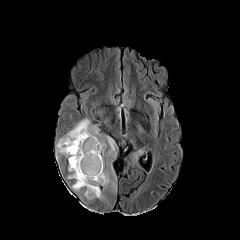
FLAIR MRI.
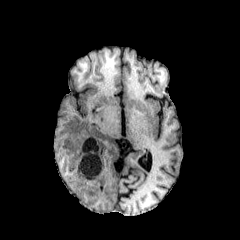
T1-weighted MRI of the same slice.
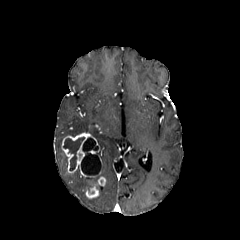
Post-contrast T1-weighted MR.
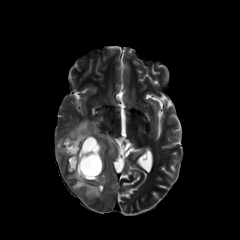
Same slice, T2-weighted MR.
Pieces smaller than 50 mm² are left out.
enhancing tumor = [85, 176, 105, 198], [62, 132, 101, 178]
peritumoral edema = [56, 118, 116, 190], [68, 170, 99, 191]
necrotic tumor core = [63, 137, 84, 170], [81, 137, 101, 175]